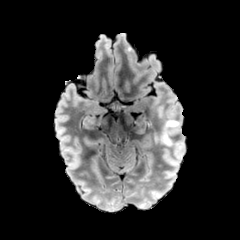
FLAIR MRI.
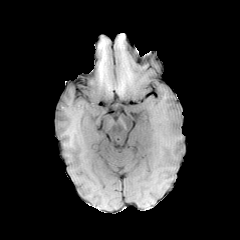
T1-weighted MR image.
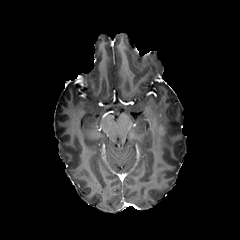
Post-contrast T1-weighted MRI.
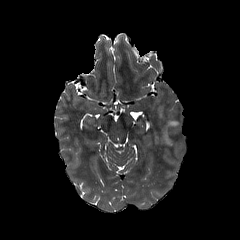
T2-weighted magnetic resonance.
Head
peritumoral edema: left=159, top=119, right=180, bottom=146